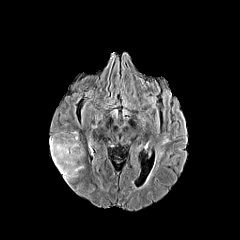
FLAIR MRI.
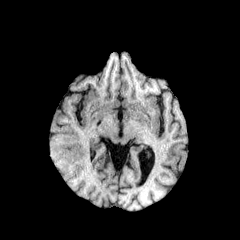
T1-weighted MR of the same slice.
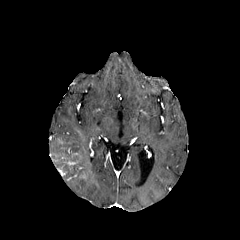
Post-contrast T1-weighted MR.
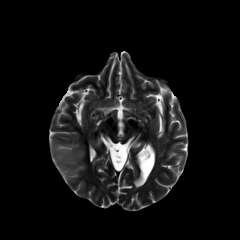
T2-weighted MR image.
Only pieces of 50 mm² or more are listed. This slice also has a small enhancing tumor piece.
Findings:
• peritumoral edema: (x1=50, y1=136, x2=83, y2=180)